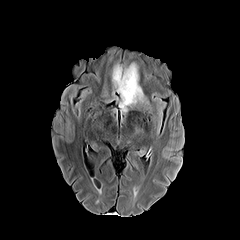
FLAIR MR image.
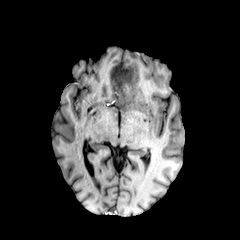
T1-weighted magnetic resonance of the same slice.
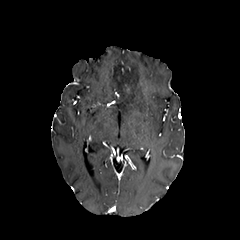
Post-contrast T1-weighted magnetic resonance of the same slice.
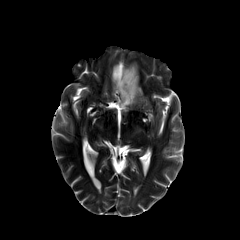
T2-weighted magnetic resonance.
Axial plane. 240x240.
enhancing tumor: 123, 83, 130, 94 | peritumoral edema: 112, 61, 150, 111